FLAIR magnetic resonance.
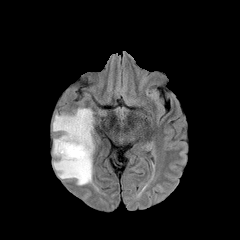
T1-weighted magnetic resonance.
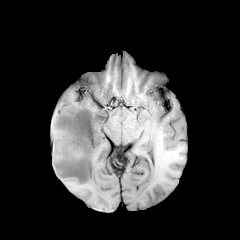
Post-contrast T1-weighted MR image.
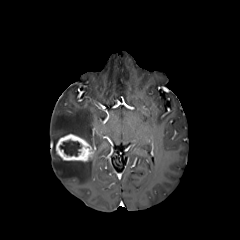
T2-weighted magnetic resonance.
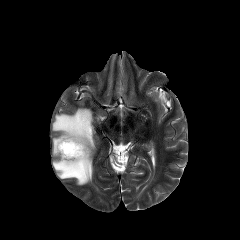
240x240. Brain.
The necrotic tumor core is located at {"x1": 60, "y1": 140, "x2": 81, "y2": 156}. The peritumoral edema is bounded by {"x1": 52, "y1": 108, "x2": 94, "y2": 185}. The enhancing tumor is located at {"x1": 55, "y1": 134, "x2": 94, "y2": 161}.